FLAIR MRI.
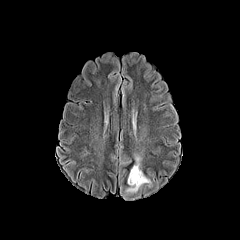
T1-weighted MR.
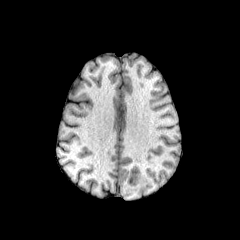
Post-contrast T1-weighted MR image.
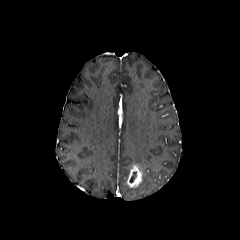
T2-weighted magnetic resonance.
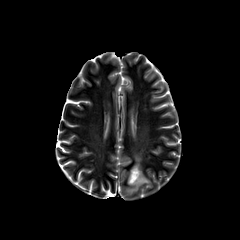
Axial plane
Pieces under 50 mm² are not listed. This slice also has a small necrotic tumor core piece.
enhancing tumor: 127,164,142,187
peritumoral edema: 135,155,141,169; 126,173,151,192